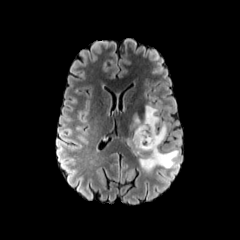
FLAIR MR image.
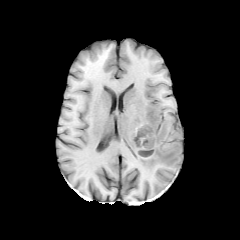
T1-weighted MR.
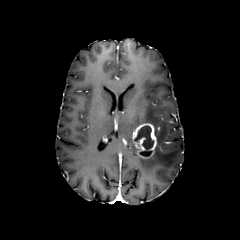
Post-contrast T1-weighted MR of the same slice.
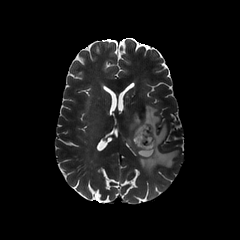
Same slice, T2-weighted magnetic resonance.
Axial view, Brain
The necrotic tumor core appears at (x1=134, y1=125, x2=154, y2=156). The peritumoral edema appears at (x1=124, y1=105, x2=178, y2=174). The enhancing tumor is at (x1=132, y1=123, x2=157, y2=158).